FLAIR magnetic resonance.
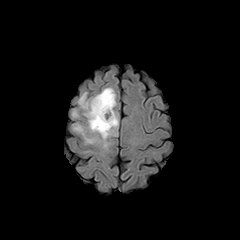
T1-weighted magnetic resonance.
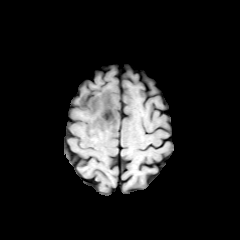
Post-contrast T1-weighted MRI.
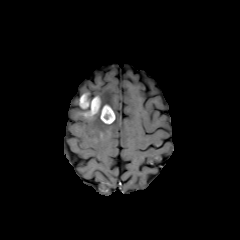
T2-weighted magnetic resonance.
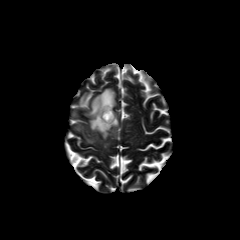
Brain.
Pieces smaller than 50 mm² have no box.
{"necrotic_tumor_core": ["rect(103, 110, 112, 119)"], "peritumoral_edema": ["rect(86, 111, 118, 148)", "rect(96, 87, 116, 110)", "rect(73, 124, 99, 143)"], "enhancing_tumor": ["rect(79, 93, 115, 124)"]}